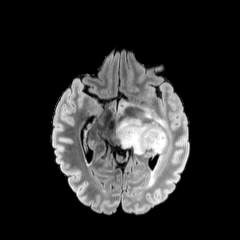
FLAIR MR.
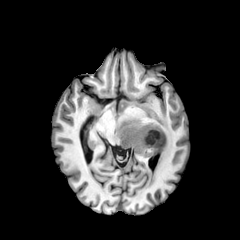
T1-weighted MR image.
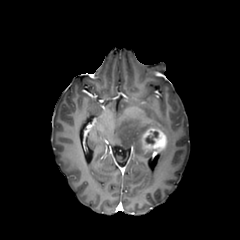
Post-contrast T1-weighted MR.
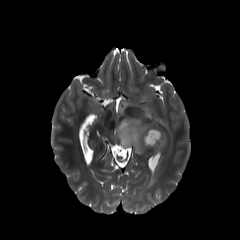
T2-weighted magnetic resonance of the same slice.
Brain
peritumoral edema: bbox=[148, 151, 163, 185]; bbox=[119, 101, 135, 112]; bbox=[116, 105, 168, 154]
necrotic tumor core: bbox=[145, 131, 158, 144]
enhancing tumor: bbox=[141, 128, 167, 155]